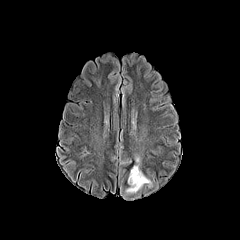
FLAIR MR.
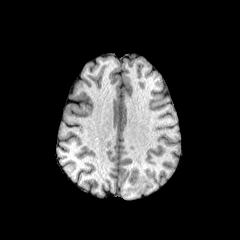
T1-weighted magnetic resonance of the same slice.
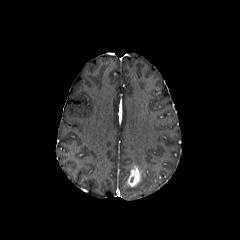
Post-contrast T1-weighted MR.
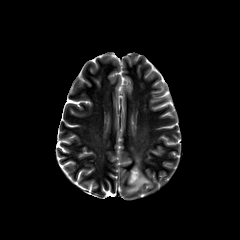
Same slice, T2-weighted MR image.
Axial view | Image size 240x240
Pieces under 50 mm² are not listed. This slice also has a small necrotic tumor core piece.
The enhancing tumor is at (x1=127, y1=165, x2=141, y2=186). 2 peritumoral edema regions are bounded by (x1=126, y1=173, x2=152, y2=193), (x1=135, y1=156, x2=140, y2=169).